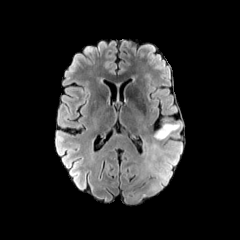
FLAIR MR.
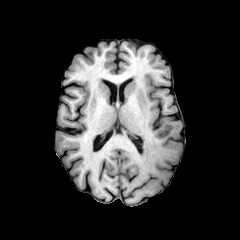
T1-weighted MRI.
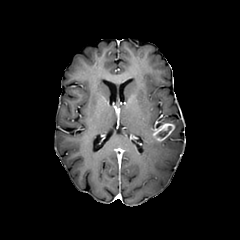
Post-contrast T1-weighted magnetic resonance.
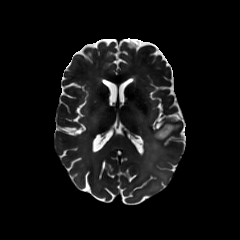
T2-weighted MR.
240x240 | Axial view | Brain
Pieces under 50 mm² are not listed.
<segmentation>
  <enhancing_tumor>153:122:174:141</enhancing_tumor>
  <peritumoral_edema>149:143:167:179</peritumoral_edema>
  <necrotic_tumor_core>157:126:171:137</necrotic_tumor_core>
</segmentation>